FLAIR magnetic resonance.
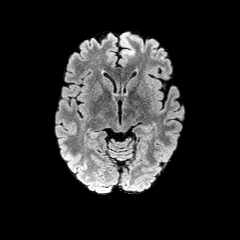
T1-weighted MR image.
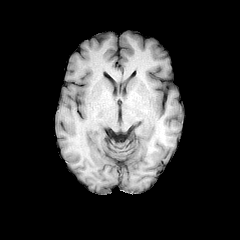
Post-contrast T1-weighted MR.
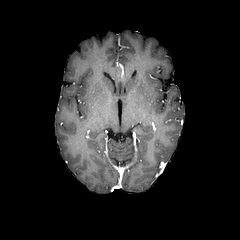
T2-weighted MR image.
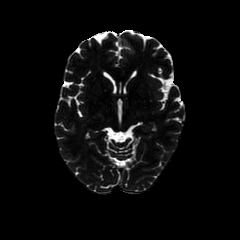
Brain | Axial view
The peritumoral edema is located at <bbox>120, 32, 134, 56</bbox>.